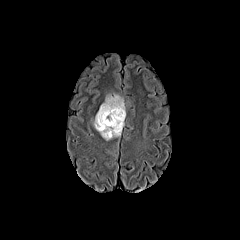
FLAIR MRI.
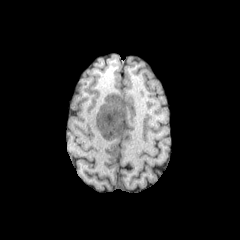
Same slice, T1-weighted MR.
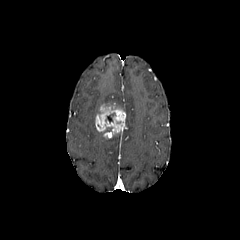
Post-contrast T1-weighted MRI.
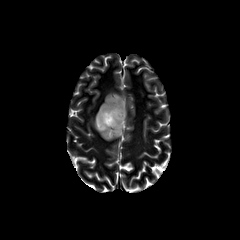
T2-weighted MR.
Brain
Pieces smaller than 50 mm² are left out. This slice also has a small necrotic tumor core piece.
Findings:
* peritumoral edema: {"x1": 103, "y1": 94, "x2": 125, "y2": 111}
* enhancing tumor: {"x1": 95, "y1": 102, "x2": 126, "y2": 138}